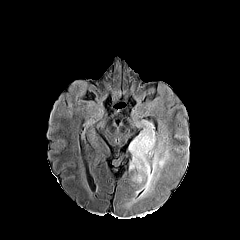
FLAIR MRI.
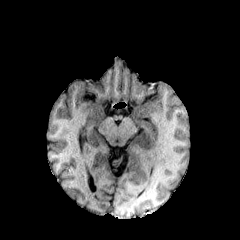
T1-weighted MRI of the same slice.
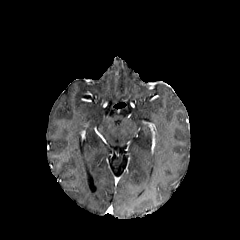
Post-contrast T1-weighted magnetic resonance.
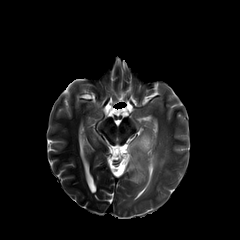
T2-weighted MR.
240x240; Head
peritumoral edema = {"x1": 129, "y1": 128, "x2": 168, "y2": 198}